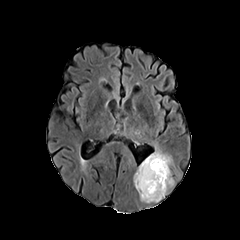
FLAIR MR image.
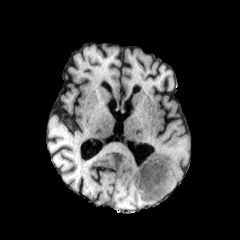
T1-weighted MRI.
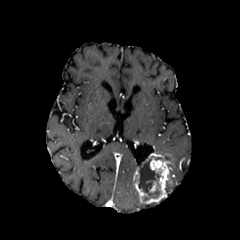
Post-contrast T1-weighted MR image.
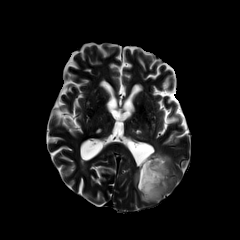
T2-weighted magnetic resonance.
240x240 px | Brain
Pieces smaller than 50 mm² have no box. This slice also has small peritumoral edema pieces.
The largest necrotic tumor core region is located at bbox=[138, 159, 160, 200]. The 2 largest enhancing tumor regions are bounded by bbox=[133, 153, 173, 203]; bbox=[149, 181, 157, 192].